240x240, Axial slice, Brain, Slice index 94
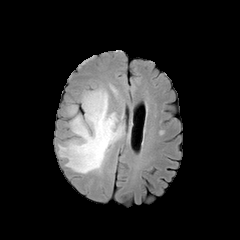
FLAIR MRI.
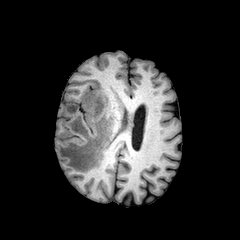
T1-weighted MR.
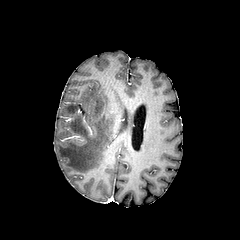
Post-contrast T1-weighted MR of the same slice.
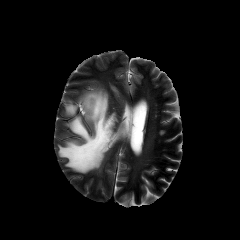
T2-weighted MR image of the same slice.
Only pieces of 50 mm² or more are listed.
peritumoral edema — (x1=58, y1=87, x2=124, y2=173)